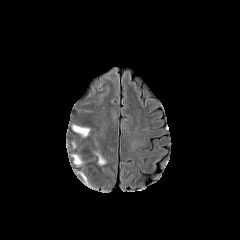
FLAIR MR.
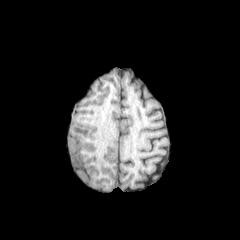
T1-weighted magnetic resonance.
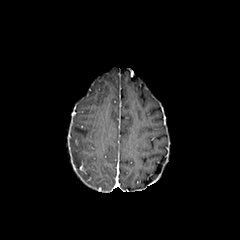
Post-contrast T1-weighted MR image.
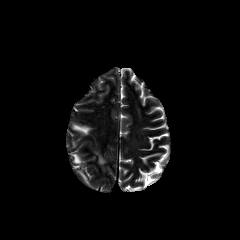
T2-weighted MRI of the same slice.
Brain. 240x240.
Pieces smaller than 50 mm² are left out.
{"peritumoral_edema": ["<bbox>72, 124, 90, 136</bbox>", "<bbox>96, 153, 105, 165</bbox>", "<bbox>72, 154, 81, 164</bbox>"]}